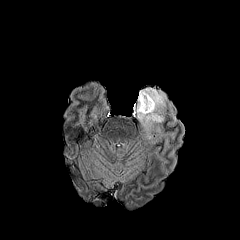
FLAIR MR image.
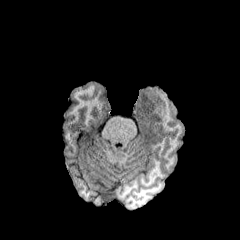
T1-weighted magnetic resonance of the same slice.
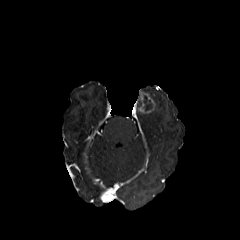
Post-contrast T1-weighted magnetic resonance of the same slice.
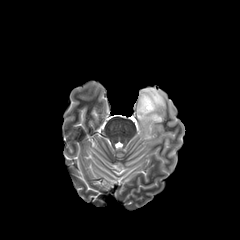
T2-weighted MR image.
Image size 240x240. Brain.
The peritumoral edema lies within 136 88 166 137. The enhancing tumor is located at 138 91 155 113. The necrotic tumor core appears at 143 95 152 110.